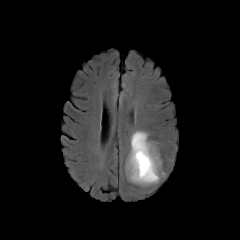
FLAIR MR image.
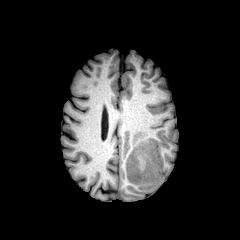
T1-weighted MR image of the same slice.
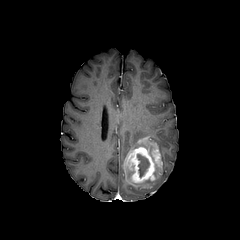
Post-contrast T1-weighted magnetic resonance of the same slice.
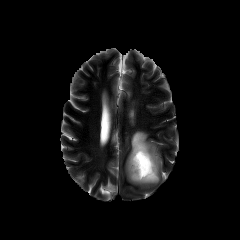
T2-weighted MR.
Brain
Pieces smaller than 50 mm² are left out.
enhancing_tumor:
  - x1=125, y1=137, x2=162, y2=183
peritumoral_edema:
  - x1=136, y1=168, x2=165, y2=185
  - x1=130, y1=130, x2=148, y2=150
necrotic_tumor_core:
  - x1=137, y1=154, x2=149, y2=177